FLAIR magnetic resonance.
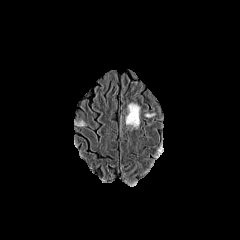
T1-weighted MRI.
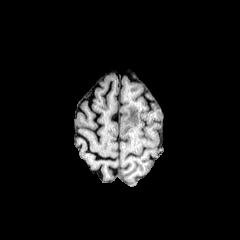
Post-contrast T1-weighted MRI.
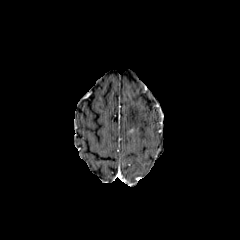
T2-weighted magnetic resonance.
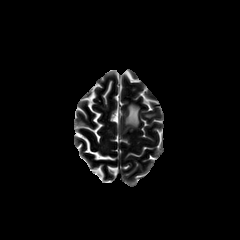
Image size 240x240. Axial view.
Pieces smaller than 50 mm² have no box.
The 2 largest peritumoral edema regions are bounded by x1=74 y1=120 x2=84 y2=125, x1=125 y1=103 x2=139 y2=128.